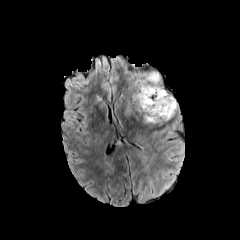
FLAIR MR.
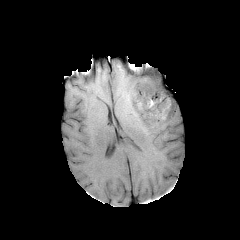
T1-weighted MRI.
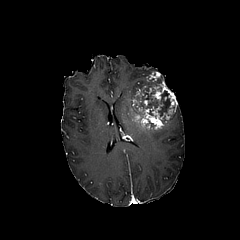
Post-contrast T1-weighted magnetic resonance.
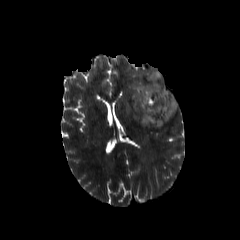
T2-weighted magnetic resonance.
Head; Axial view; 240x240 px
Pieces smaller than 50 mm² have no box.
necrotic tumor core = bbox=[133, 86, 158, 108]; bbox=[158, 88, 170, 116]
peritumoral edema = bbox=[133, 79, 145, 89]
enhancing tumor = bbox=[141, 71, 160, 88]; bbox=[132, 89, 143, 97]; bbox=[132, 84, 177, 128]